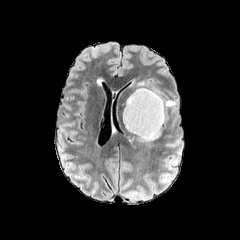
FLAIR MR image.
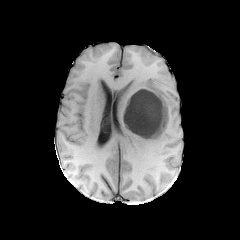
T1-weighted MRI.
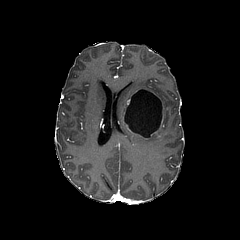
Same slice, post-contrast T1-weighted magnetic resonance.
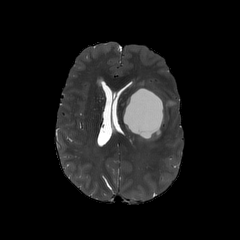
T2-weighted MR of the same slice.
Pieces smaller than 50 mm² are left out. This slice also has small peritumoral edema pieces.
The largest enhancing tumor region is bounded by <bbox>131, 88, 164, 137</bbox>. The necrotic tumor core is at <bbox>124, 89, 162, 137</bbox>.